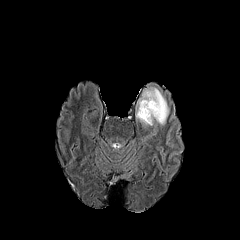
FLAIR MR image.
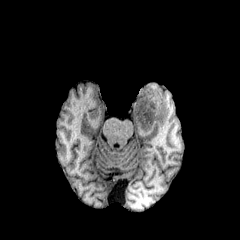
Same slice, T1-weighted MR.
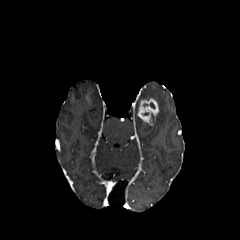
Same slice, post-contrast T1-weighted MR image.
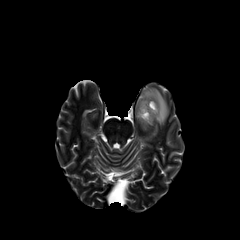
T2-weighted MRI.
Axial view, Head
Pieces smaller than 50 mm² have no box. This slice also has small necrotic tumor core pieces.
The peritumoral edema lies within l=136, t=84, r=169, b=127. The enhancing tumor appears at l=137, t=98, r=158, b=125.